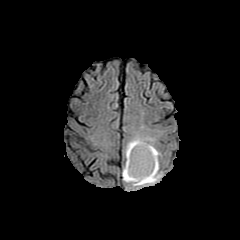
FLAIR MR image.
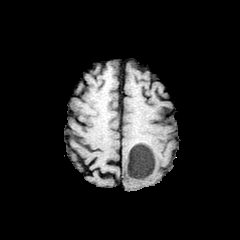
T1-weighted MR.
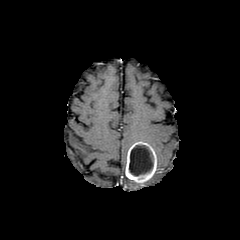
Same slice, post-contrast T1-weighted MRI.
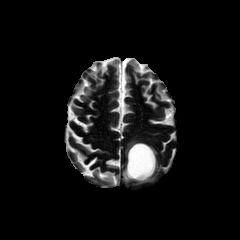
T2-weighted MRI.
Brain
necrotic tumor core: bbox(129, 145, 153, 175)
enhancing tumor: bbox(125, 142, 156, 183)
peritumoral edema: bbox(122, 134, 161, 186)